240x240 px; Slice 37/155
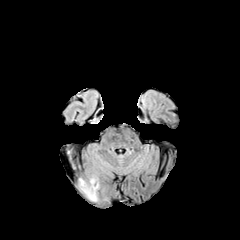
FLAIR MR.
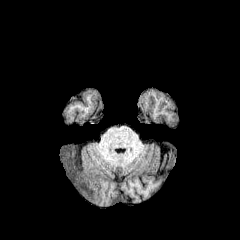
Same slice, T1-weighted MR.
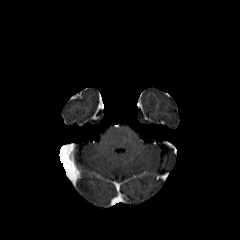
Post-contrast T1-weighted MRI.
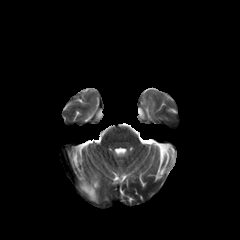
T2-weighted MR.
peritumoral edema = [x1=78, y1=179, x2=98, y2=201]